Axial plane, Brain, Image size 240x240
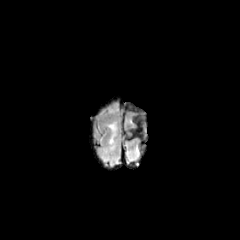
FLAIR MRI.
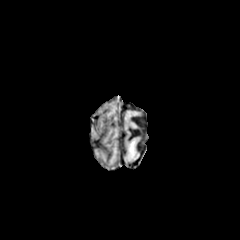
T1-weighted MR image.
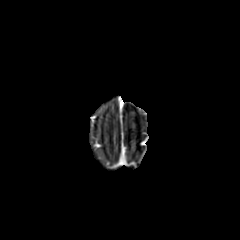
Post-contrast T1-weighted magnetic resonance.
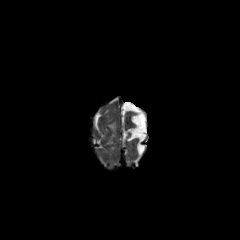
T2-weighted MR of the same slice.
• peritumoral edema: 108 123 116 131